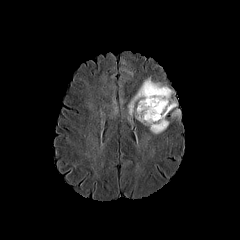
FLAIR MR.
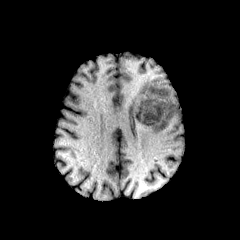
T1-weighted MR.
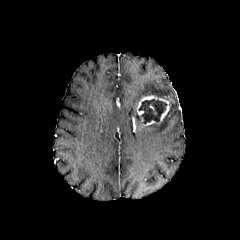
Post-contrast T1-weighted magnetic resonance.
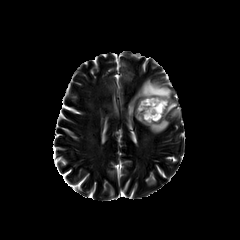
Same slice, T2-weighted MR.
Head; Axial plane; 240x240
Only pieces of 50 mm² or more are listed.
<segmentation>
  <necrotic_tumor_core>bbox=[139, 99, 166, 123]</necrotic_tumor_core>
  <peritumoral_edema>bbox=[148, 117, 169, 134]; bbox=[170, 98, 180, 119]; bbox=[128, 77, 173, 121]</peritumoral_edema>
  <enhancing_tumor>bbox=[136, 95, 174, 125]</enhancing_tumor>
</segmentation>